FLAIR magnetic resonance.
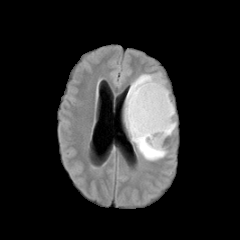
T1-weighted MR.
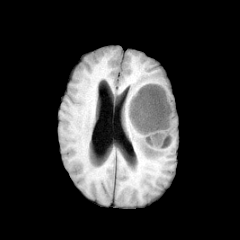
Post-contrast T1-weighted MR image.
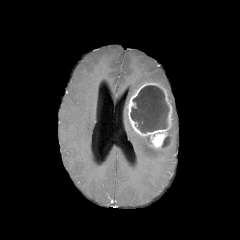
T2-weighted MR.
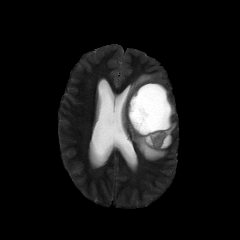
240x240 px. Head.
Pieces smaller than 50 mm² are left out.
peritumoral edema — box=[124, 74, 166, 160]; box=[168, 118, 176, 135]
enhancing tumor — box=[127, 82, 172, 148]
necrotic tumor core — box=[161, 137, 169, 147]; box=[130, 85, 169, 132]